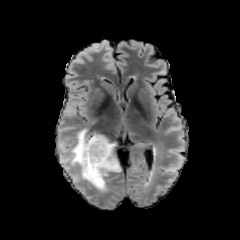
FLAIR MRI.
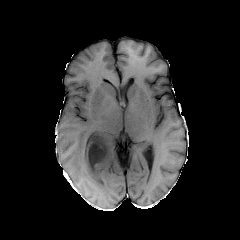
T1-weighted MRI.
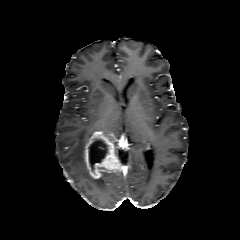
Post-contrast T1-weighted magnetic resonance.
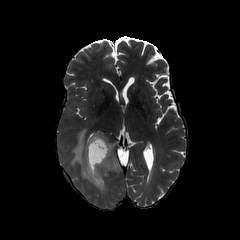
T2-weighted MR image.
240x240 px; Axial view
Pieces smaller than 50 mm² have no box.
enhancing tumor: box(85, 132, 121, 179) | necrotic tumor core: box(88, 139, 107, 171) | peritumoral edema: box(70, 129, 110, 190)